FLAIR MR.
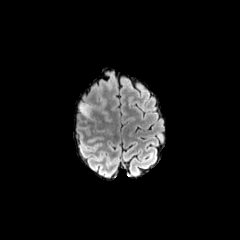
T1-weighted MRI.
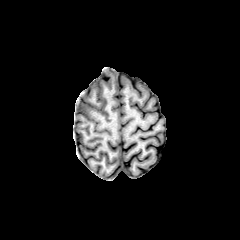
Post-contrast T1-weighted MR.
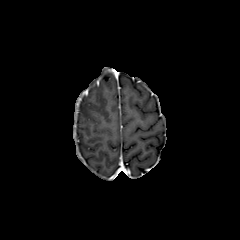
T2-weighted MRI.
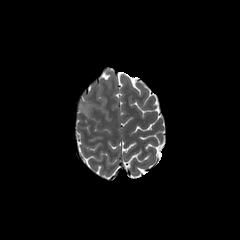
Brain
The peritumoral edema is located at box=[78, 101, 89, 115].